240x240 px | Image width 240 mm, 1.00 mm slice spacing | Head
FLAIR MR.
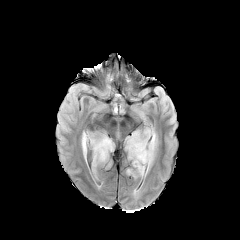
T1-weighted MR.
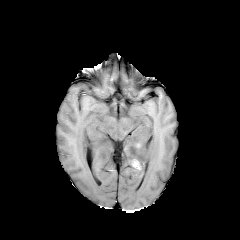
Post-contrast T1-weighted MR.
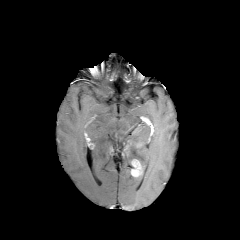
T2-weighted MR.
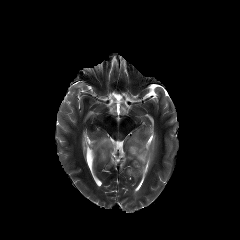
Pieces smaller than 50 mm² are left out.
Findings:
• enhancing tumor: (130, 159, 143, 177)
• peritumoral edema: (81, 133, 86, 158), (90, 135, 114, 171), (126, 129, 156, 177)